FLAIR MR image.
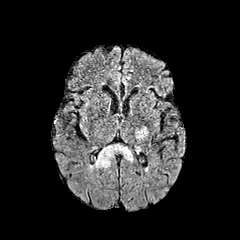
T1-weighted MRI.
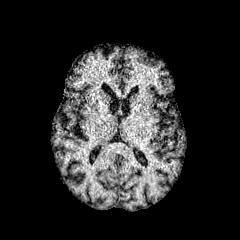
Post-contrast T1-weighted MRI.
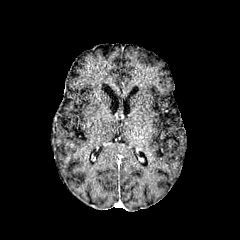
T2-weighted MR image.
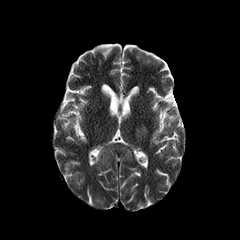
240x240 px
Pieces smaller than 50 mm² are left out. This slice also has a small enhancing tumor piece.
peritumoral edema — [136, 127, 147, 139], [95, 144, 132, 167]